FLAIR magnetic resonance.
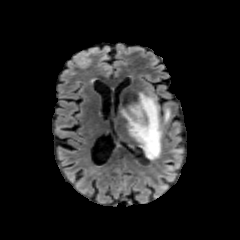
T1-weighted magnetic resonance.
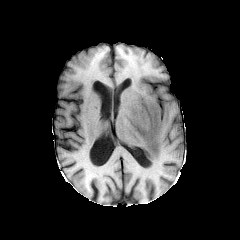
Post-contrast T1-weighted MRI.
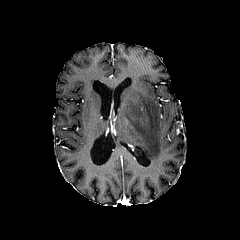
T2-weighted MRI.
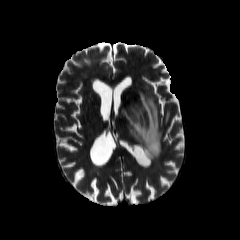
Head. Image size 240x240. Axial view.
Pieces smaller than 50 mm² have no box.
peritumoral edema: region(165, 107, 170, 122); region(116, 92, 162, 159)